Image width 240 mm, 1.00 mm slice spacing, Head, Axial slice, Slice 113/155
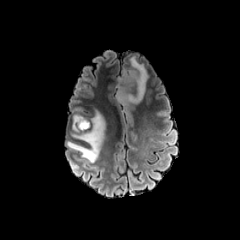
FLAIR MR image.
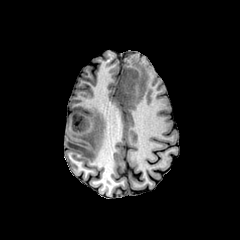
T1-weighted MR of the same slice.
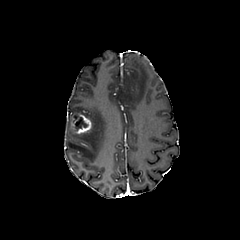
Post-contrast T1-weighted magnetic resonance of the same slice.
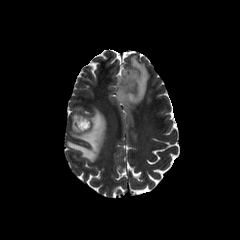
T2-weighted magnetic resonance of the same slice.
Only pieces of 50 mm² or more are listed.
necrotic tumor core at 75 117 87 130
peritumoral edema at 67 109 105 162, 116 56 148 104
enhancing tumor at 71 113 91 133